Brain. Axial slice.
FLAIR MRI.
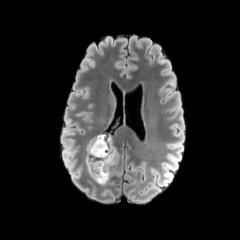
T1-weighted MR.
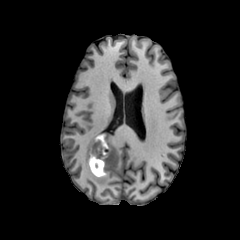
Post-contrast T1-weighted MR.
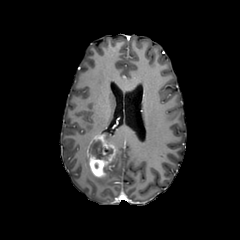
T2-weighted MRI.
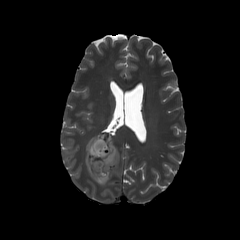
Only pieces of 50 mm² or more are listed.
enhancing tumor: box=[86, 134, 116, 177] | necrotic tumor core: box=[89, 138, 112, 161] | peritumoral edema: box=[111, 146, 119, 166]; box=[86, 156, 110, 184]